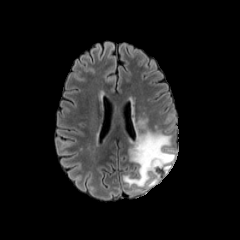
FLAIR MR image.
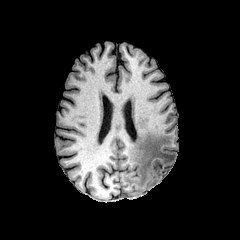
T1-weighted MRI.
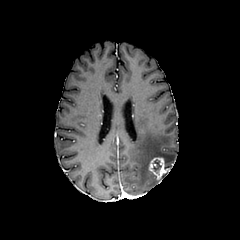
Same slice, post-contrast T1-weighted MR.
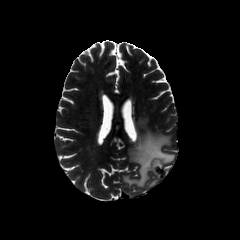
T2-weighted magnetic resonance.
Head; Axial plane
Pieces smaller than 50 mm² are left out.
The necrotic tumor core is bounded by bbox(153, 160, 161, 171). The enhancing tumor appears at bbox(148, 157, 170, 179). The largest peritumoral edema region lies within bbox(123, 119, 175, 187).